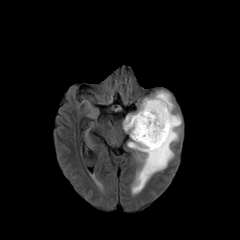
FLAIR MRI.
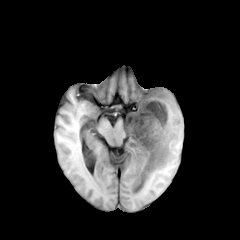
T1-weighted magnetic resonance.
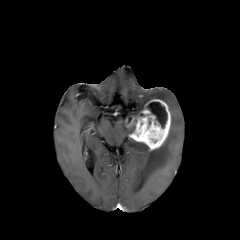
Post-contrast T1-weighted MR.
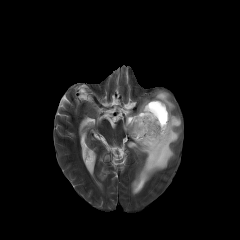
Same slice, T2-weighted MRI.
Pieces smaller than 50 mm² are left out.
The largest peritumoral edema region lies within x1=127, y1=90, x2=181, y2=193. The enhancing tumor appears at x1=125, y1=99, x2=171, y2=150. The largest necrotic tumor core region is located at x1=147, y1=102, x2=167, y2=128.